240x240 px.
FLAIR magnetic resonance.
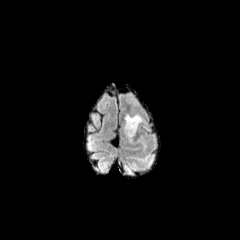
T1-weighted magnetic resonance.
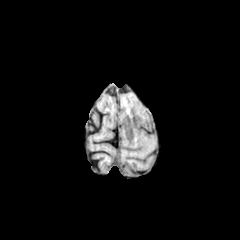
Post-contrast T1-weighted magnetic resonance.
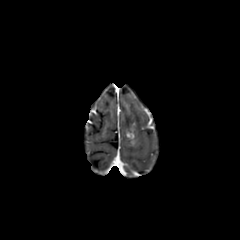
T2-weighted MRI.
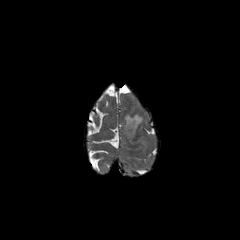
peritumoral edema = x1=135, y1=135, x2=146, y2=151; x1=122, y1=112, x2=146, y2=142
enhancing tumor = x1=126, y1=121, x2=135, y2=144